240x240 px. Brain.
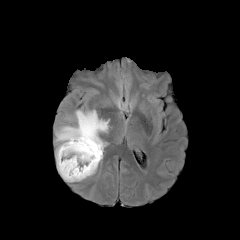
FLAIR MR image.
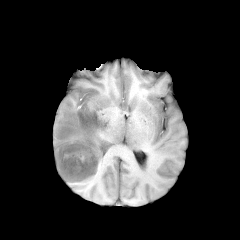
T1-weighted MRI.
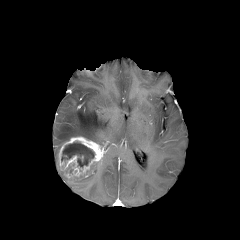
Post-contrast T1-weighted MR.
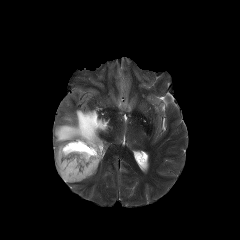
T2-weighted magnetic resonance.
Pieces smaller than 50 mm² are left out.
enhancing tumor: rect(57, 136, 103, 181)
peritumoral edema: rect(59, 172, 86, 182); rect(55, 109, 109, 164)
necrotic tumor core: rect(61, 142, 94, 167)